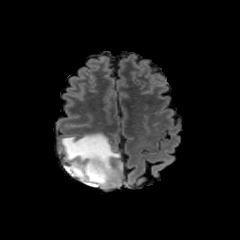
FLAIR MRI.
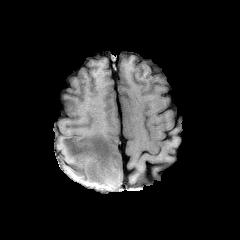
T1-weighted MRI.
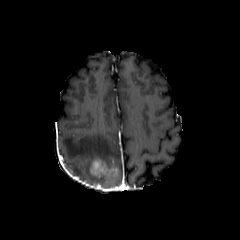
Post-contrast T1-weighted magnetic resonance.
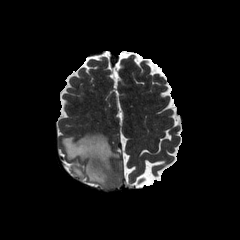
T2-weighted magnetic resonance.
Axial slice.
Annotated regions:
- enhancing tumor: {"x1": 90, "y1": 159, "x2": 113, "y2": 176}
- peritumoral edema: {"x1": 61, "y1": 133, "x2": 122, "y2": 188}